Axial view
FLAIR MRI.
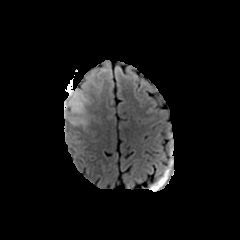
T1-weighted MRI.
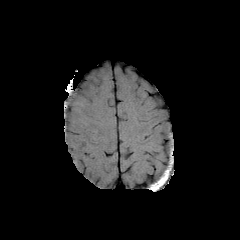
Post-contrast T1-weighted MR image.
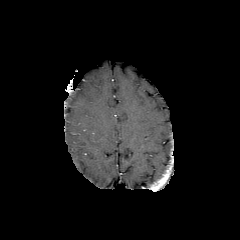
T2-weighted MR image.
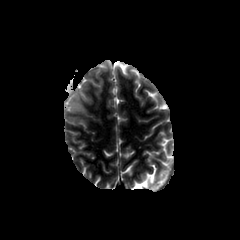
{"peritumoral_edema": ["64 87 91 139"]}